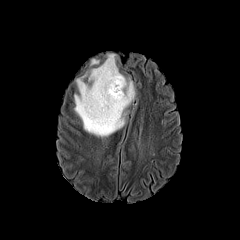
FLAIR magnetic resonance.
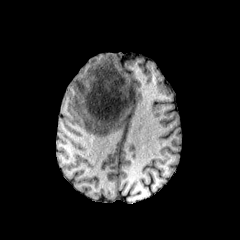
T1-weighted MR.
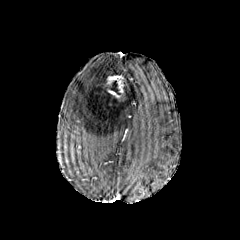
Post-contrast T1-weighted MRI.
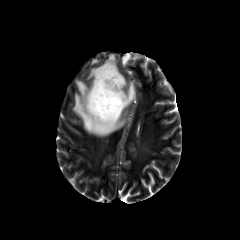
T2-weighted MR.
Brain, Axial view
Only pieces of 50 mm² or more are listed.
Findings:
• enhancing tumor: (107,74,124,93)
• peritumoral edema: (73,54,135,137)
• necrotic tumor core: (102,78,124,101)